FLAIR MRI.
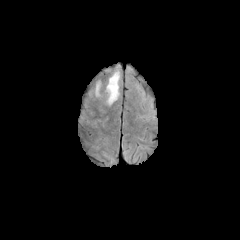
T1-weighted MRI.
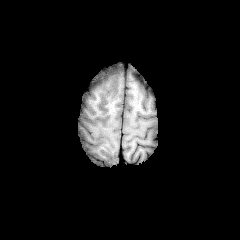
Post-contrast T1-weighted MR.
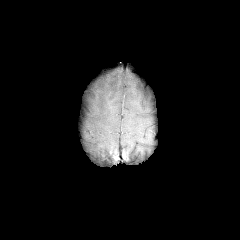
T2-weighted MR image.
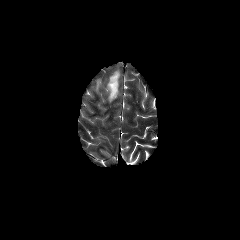
Axial slice
peritumoral edema: [93, 80, 101, 96], [106, 71, 119, 105]